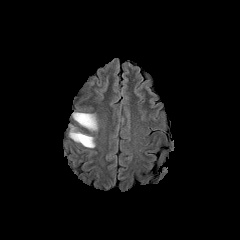
FLAIR MR.
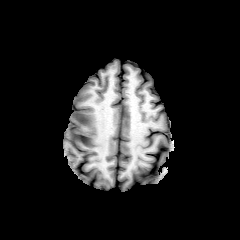
Same slice, T1-weighted MR.
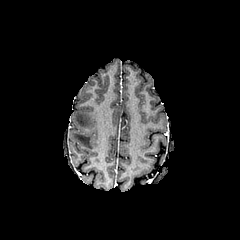
Post-contrast T1-weighted MR of the same slice.
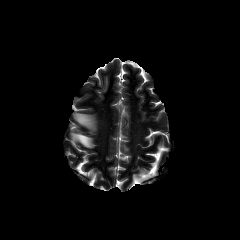
T2-weighted MRI.
Head
peritumoral edema at rect(73, 113, 96, 129); rect(70, 131, 94, 147)